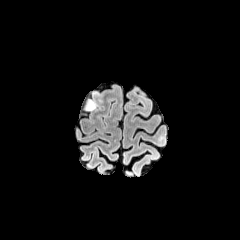
FLAIR MR image.
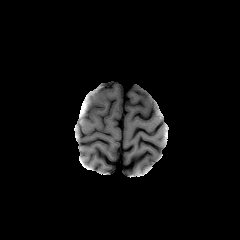
Same slice, T1-weighted MRI.
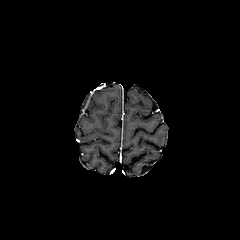
Post-contrast T1-weighted MR.
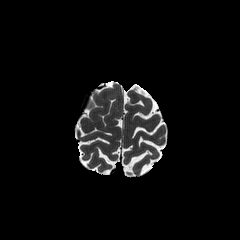
Same slice, T2-weighted MRI.
Head.
Findings:
- peritumoral edema: 85,100,97,110